Head, Axial view, Image covers 240 mm x 240 mm, Slice index 71
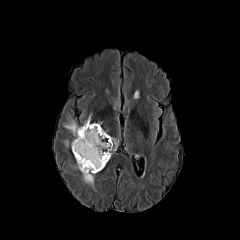
FLAIR MR.
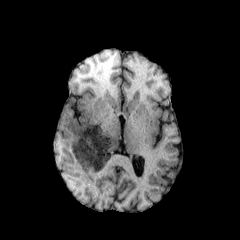
T1-weighted MRI.
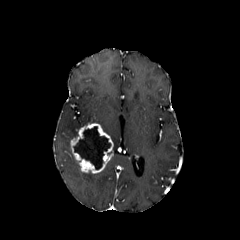
Same slice, post-contrast T1-weighted MR image.
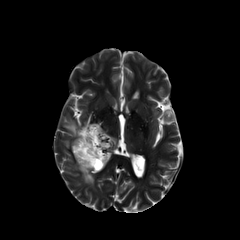
T2-weighted MRI.
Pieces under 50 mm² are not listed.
The 3 largest peritumoral edema regions appear at box(111, 137, 118, 154); box(82, 172, 95, 188); box(63, 117, 80, 137). The necrotic tumor core is bounded by box(74, 126, 110, 169). The enhancing tumor is located at box(70, 123, 113, 173).